FLAIR magnetic resonance.
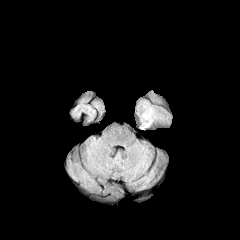
T1-weighted magnetic resonance.
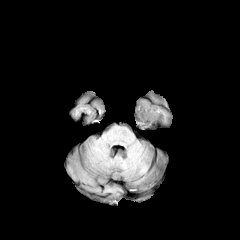
Post-contrast T1-weighted MR image.
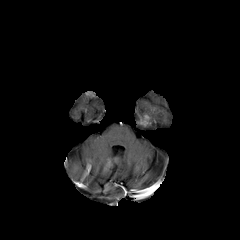
T2-weighted MRI.
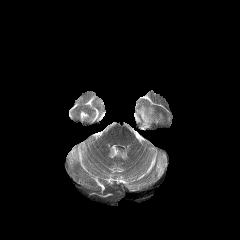
Axial view | 240x240 px
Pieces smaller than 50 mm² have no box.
Annotated regions:
• peritumoral edema: x1=137, y1=104, x2=156, y2=123
• enhancing tumor: x1=140, y1=114, x2=150, y2=126